FLAIR MRI.
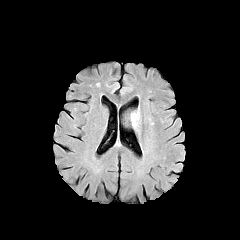
T1-weighted MR.
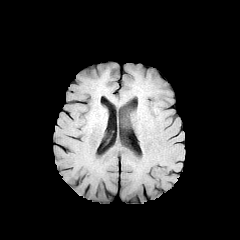
Post-contrast T1-weighted MRI.
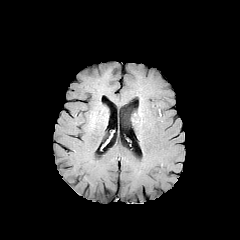
T2-weighted MR image.
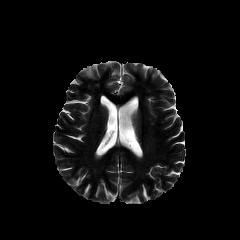
Axial slice.
peritumoral edema: bounding box bbox=[130, 111, 138, 128]